Axial slice; Slice index 82
FLAIR MR.
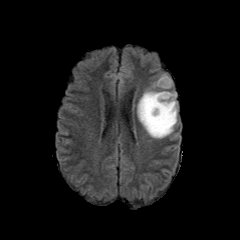
T1-weighted MR.
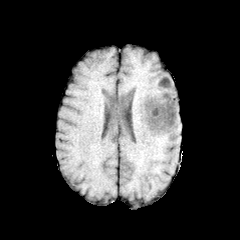
Post-contrast T1-weighted magnetic resonance.
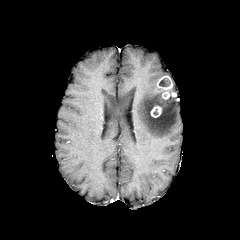
T2-weighted magnetic resonance.
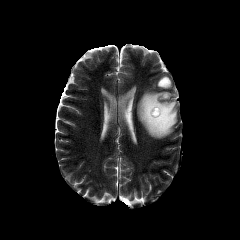
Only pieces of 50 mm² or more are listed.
Findings:
- peritumoral edema: (137, 90, 177, 138)
- enhancing tumor: (150, 106, 161, 117), (157, 76, 176, 99)
- necrotic tumor core: (159, 78, 170, 86)